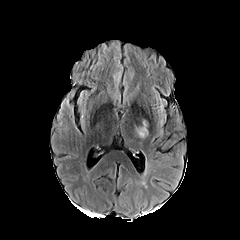
FLAIR MR.
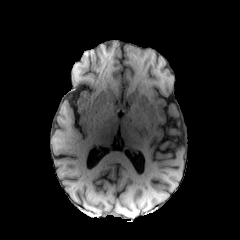
T1-weighted magnetic resonance of the same slice.
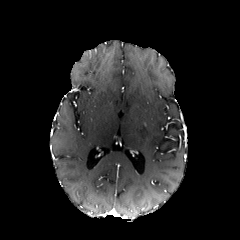
Post-contrast T1-weighted magnetic resonance of the same slice.
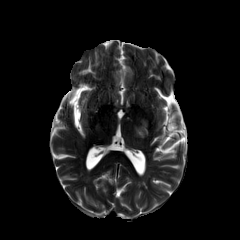
T2-weighted MR image.
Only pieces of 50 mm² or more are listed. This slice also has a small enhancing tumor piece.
<segmentation>
  <peritumoral_edema>134 118 148 138</peritumoral_edema>
</segmentation>